Slice index 57 | Brain | Axial slice
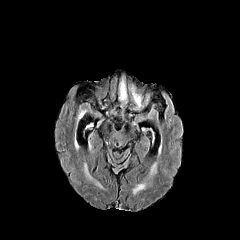
FLAIR magnetic resonance.
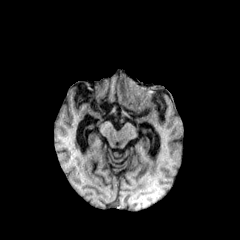
T1-weighted magnetic resonance of the same slice.
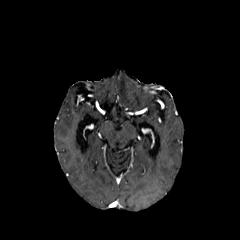
Post-contrast T1-weighted MRI of the same slice.
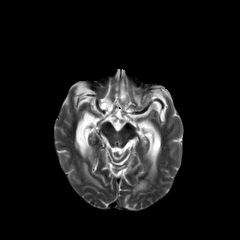
T2-weighted MR.
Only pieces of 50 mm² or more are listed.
{
  "peritumoral_edema": [
    "bbox(133, 183, 145, 193)",
    "bbox(120, 82, 126, 99)",
    "bbox(133, 92, 140, 106)"
  ]
}